Slice index 62, 240x240, Axial view
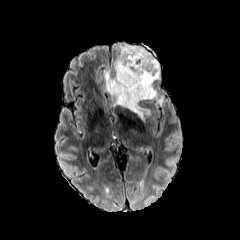
FLAIR magnetic resonance.
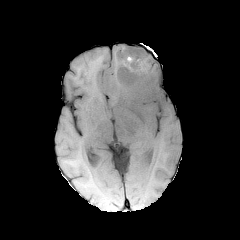
T1-weighted MRI.
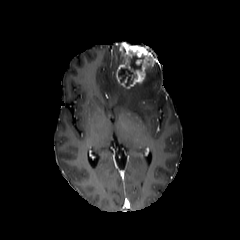
Same slice, post-contrast T1-weighted magnetic resonance.
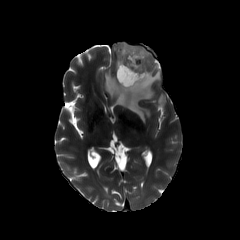
Same slice, T2-weighted MRI.
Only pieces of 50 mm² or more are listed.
enhancing tumor: 116:42:157:88
peritumoral edema: 157:95:164:105, 104:44:160:120
necrotic tumor core: 118:68:133:82, 128:55:144:70